Slice 94 of 155; Axial plane
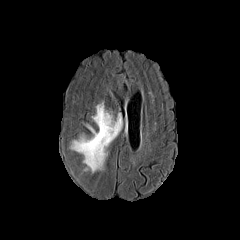
FLAIR MR image.
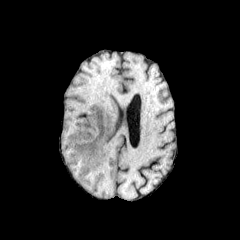
T1-weighted MRI.
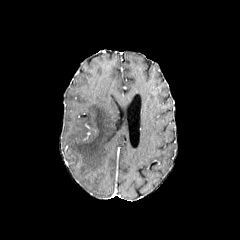
Same slice, post-contrast T1-weighted MRI.
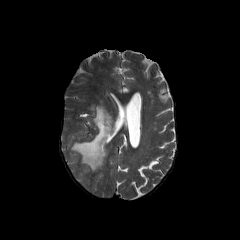
Same slice, T2-weighted MR image.
peritumoral edema = (left=71, top=104, right=122, bottom=172)